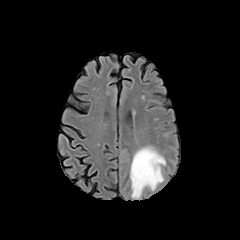
FLAIR MRI.
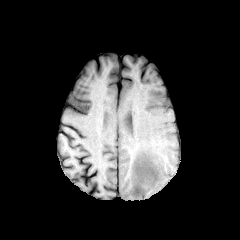
Same slice, T1-weighted magnetic resonance.
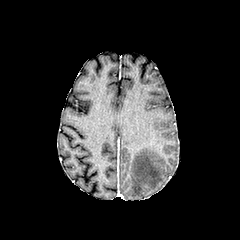
Post-contrast T1-weighted MR.
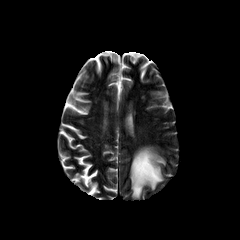
T2-weighted MR image.
Axial slice
The peritumoral edema is bounded by x1=130 y1=147 x2=165 y2=198.